FLAIR MRI.
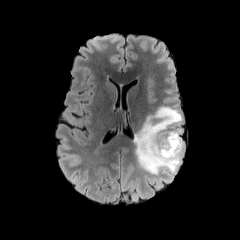
T1-weighted MR image.
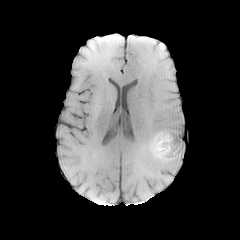
Post-contrast T1-weighted MRI.
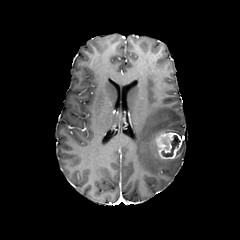
T2-weighted magnetic resonance.
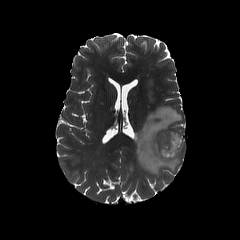
The enhancing tumor lies within x1=156 y1=132 x2=182 y2=159. The peritumoral edema is located at x1=134 y1=106 x2=184 y2=181. The necrotic tumor core is bounded by x1=162 y1=135 x2=180 y2=156.